FLAIR MR.
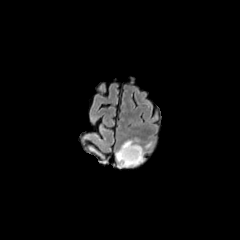
T1-weighted MR image.
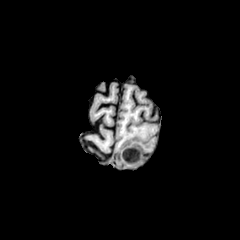
Post-contrast T1-weighted MR image.
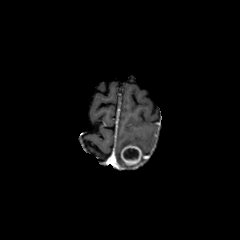
T2-weighted MR image.
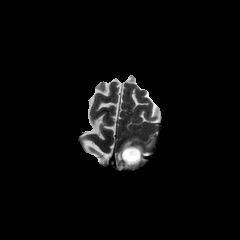
Brain, Image size 240x240, Axial plane
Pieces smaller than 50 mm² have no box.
necrotic_tumor_core:
  - [x1=123, y1=148, x2=138, y2=159]
peritumoral_edema:
  - [x1=116, y1=140, x2=144, y2=167]
enhancing_tumor:
  - [x1=120, y1=144, x2=144, y2=167]